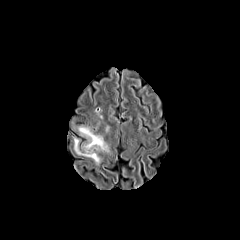
FLAIR MR.
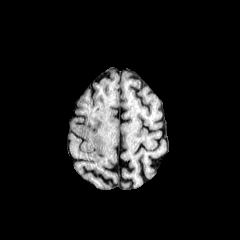
Same slice, T1-weighted MR image.
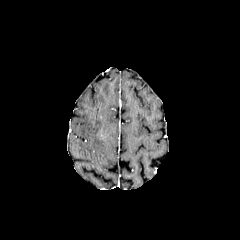
Post-contrast T1-weighted MRI.
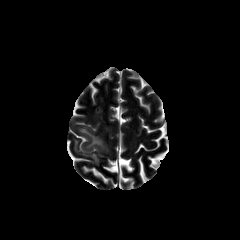
T2-weighted magnetic resonance.
Brain; Axial view; Image size 240x240
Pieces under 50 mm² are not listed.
<segmentation>
  <peritumoral_edema>(74,126,109,164)</peritumoral_edema>
</segmentation>